Image width 240 mm, 1.00 mm slice spacing, Slice 93 of 155, Axial view
FLAIR MR image.
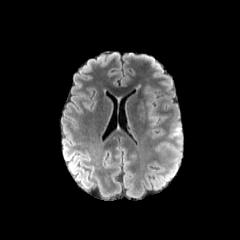
T1-weighted magnetic resonance.
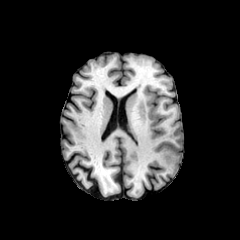
Post-contrast T1-weighted MR image.
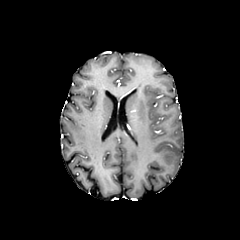
T2-weighted MR.
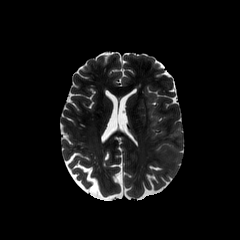
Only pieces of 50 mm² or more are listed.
peritumoral edema: {"x1": 174, "y1": 128, "x2": 182, "y2": 136}, {"x1": 143, "y1": 86, "x2": 154, "y2": 111}